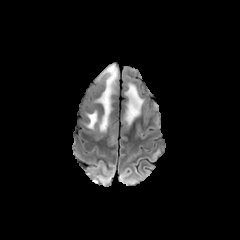
FLAIR magnetic resonance.
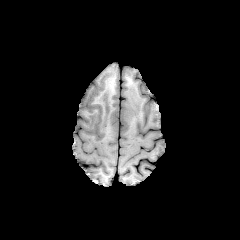
T1-weighted MR.
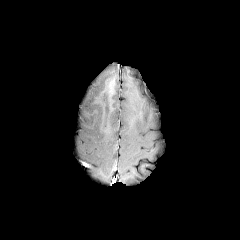
Post-contrast T1-weighted MR.
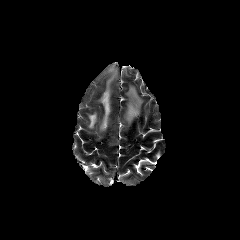
T2-weighted magnetic resonance of the same slice.
Axial view. Brain. 240x240 px.
2 peritumoral edema regions are bounded by [121,84,143,129], [81,64,117,142].